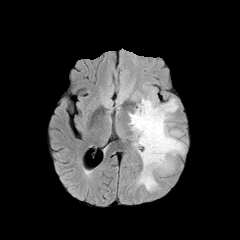
FLAIR MR.
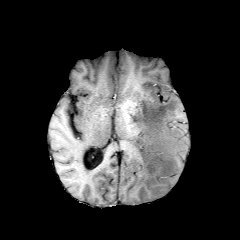
Same slice, T1-weighted MR image.
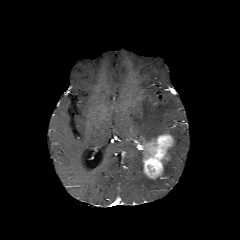
Post-contrast T1-weighted MR image.
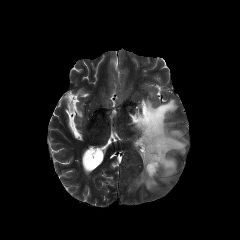
T2-weighted MR image.
Brain. Axial plane.
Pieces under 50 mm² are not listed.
peritumoral_edema:
  - 136, 171, 158, 191
  - 129, 98, 187, 178
enhancing_tumor:
  - 137, 134, 173, 179